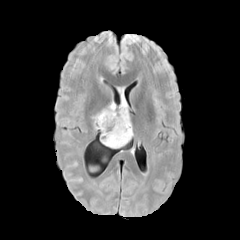
FLAIR MRI.
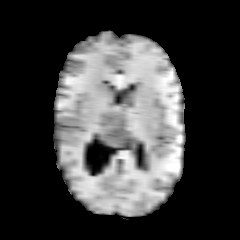
Same slice, T1-weighted magnetic resonance.
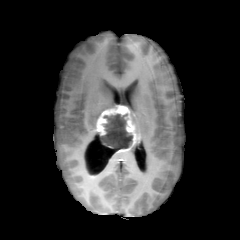
Post-contrast T1-weighted magnetic resonance.
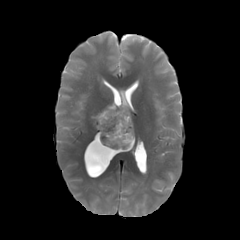
T2-weighted magnetic resonance of the same slice.
Axial plane
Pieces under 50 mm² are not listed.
peritumoral edema = 92:112:101:128, 121:93:127:106
necrotic tumor core = 100:114:132:149
enhancing tumor = 96:105:139:144